FLAIR magnetic resonance.
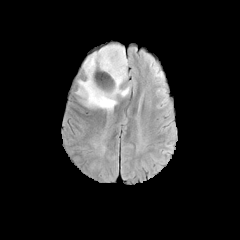
T1-weighted MR image.
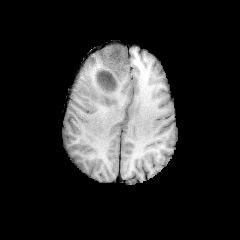
Post-contrast T1-weighted MR image.
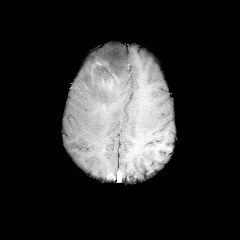
T2-weighted magnetic resonance.
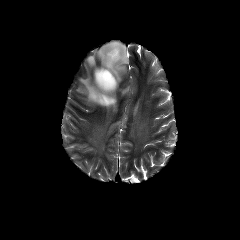
240x240 px
enhancing_tumor:
  - 91,59,119,91
peritumoral_edema:
  - 75,44,130,109
necrotic_tumor_core:
  - 96,68,112,82